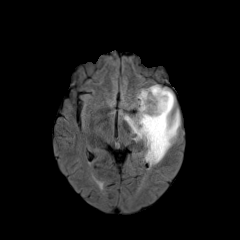
FLAIR MR image.
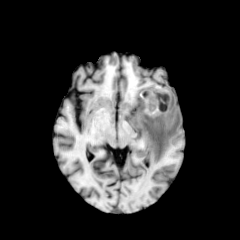
Same slice, T1-weighted MR image.
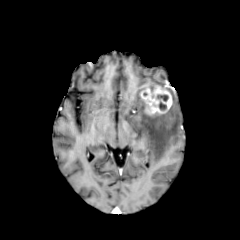
Same slice, post-contrast T1-weighted magnetic resonance.
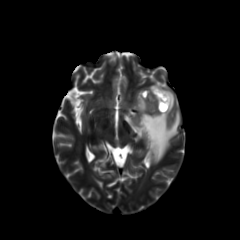
T2-weighted MRI.
Axial slice
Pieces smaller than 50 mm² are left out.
peritumoral edema: bbox(126, 86, 180, 162)
necrotic tumor core: bbox(156, 93, 168, 110)
enhancing tumor: bbox(138, 86, 171, 117)